FLAIR magnetic resonance.
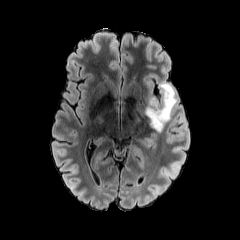
T1-weighted MR.
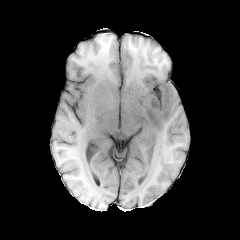
Post-contrast T1-weighted magnetic resonance.
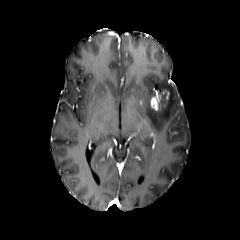
T2-weighted MR image.
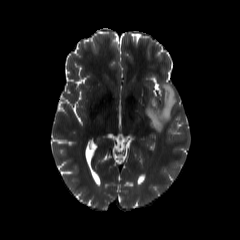
Axial plane
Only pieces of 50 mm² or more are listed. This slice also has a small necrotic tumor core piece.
- peritumoral edema: 145,81,177,131
- enhancing tumor: 163,90,169,106; 150,96,160,110